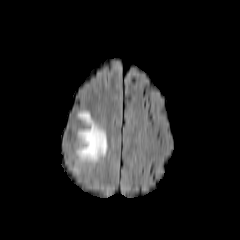
FLAIR MRI.
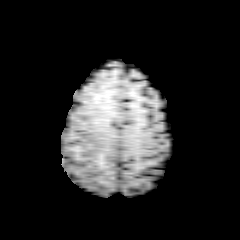
T1-weighted MR of the same slice.
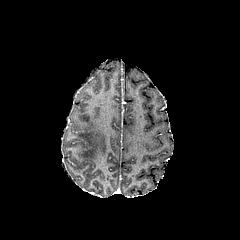
Same slice, post-contrast T1-weighted MR image.
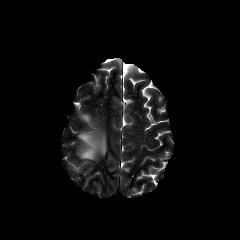
Same slice, T2-weighted magnetic resonance.
Axial slice, 240x240
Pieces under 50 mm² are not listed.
The largest peritumoral edema region is located at x1=77, y1=112, x2=106, y2=161.